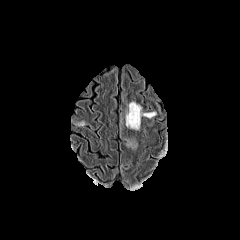
FLAIR MR image.
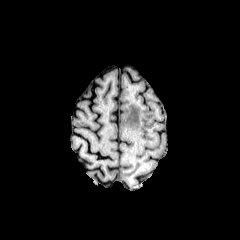
Same slice, T1-weighted MR.
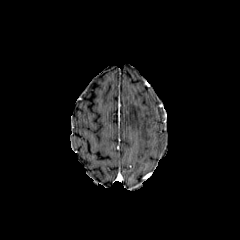
Post-contrast T1-weighted MR of the same slice.
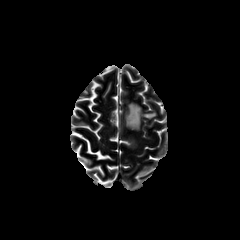
Same slice, T2-weighted magnetic resonance.
Axial plane.
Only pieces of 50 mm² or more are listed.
peritumoral edema — 125:102:156:129, 71:120:84:126